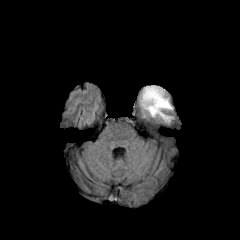
FLAIR MR image.
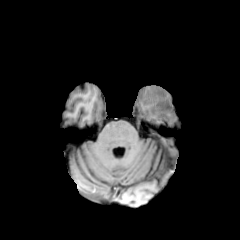
T1-weighted MRI.
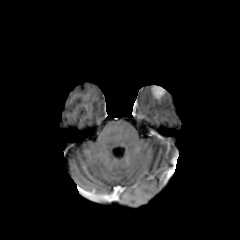
Post-contrast T1-weighted MR image.
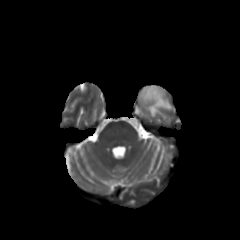
T2-weighted MR image of the same slice.
240x240
* peritumoral edema: [x1=137, y1=85, x2=175, y2=123]
* enhancing tumor: [x1=151, y1=85, x2=165, y2=100]